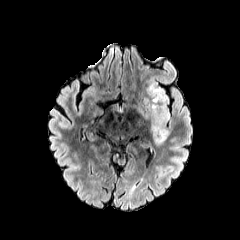
FLAIR MR image.
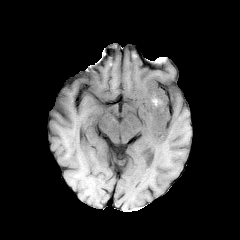
T1-weighted magnetic resonance of the same slice.
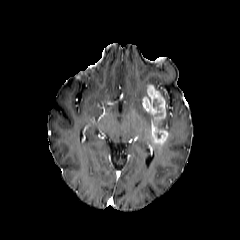
Post-contrast T1-weighted MR.
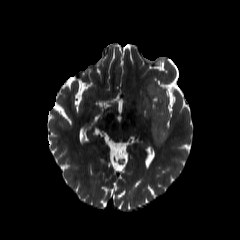
T2-weighted MR image.
240x240.
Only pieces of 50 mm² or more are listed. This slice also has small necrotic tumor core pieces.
{"peritumoral_edema": ["left=138, top=109, right=151, bottom=118", "left=148, top=79, right=167, bottom=103"], "enhancing_tumor": ["left=142, top=84, right=168, bottom=145"]}